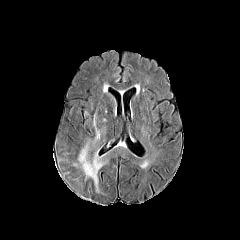
FLAIR magnetic resonance.
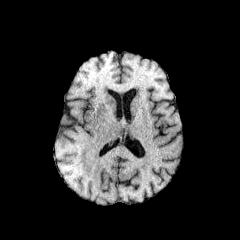
T1-weighted MR image.
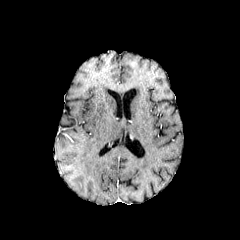
Post-contrast T1-weighted magnetic resonance of the same slice.
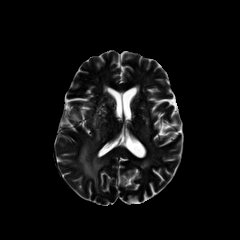
T2-weighted MR image.
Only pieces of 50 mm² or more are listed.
peritumoral edema — box(93, 114, 99, 140); box(78, 144, 104, 191)